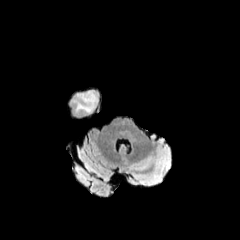
FLAIR MR.
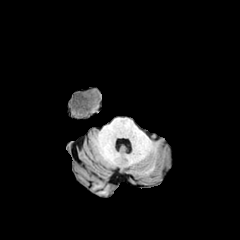
T1-weighted MR.
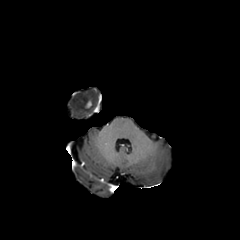
Post-contrast T1-weighted MR image.
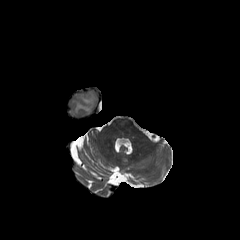
T2-weighted MR.
Image size 240x240.
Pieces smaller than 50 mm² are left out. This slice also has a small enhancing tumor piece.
{
  "peritumoral_edema": [
    "72:89:98:113"
  ]
}